FLAIR MR image.
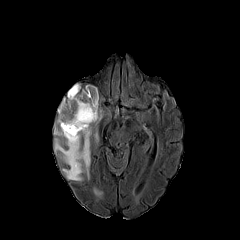
T1-weighted MR.
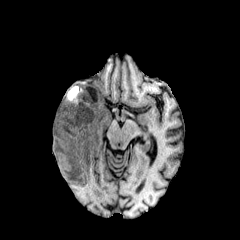
Post-contrast T1-weighted MR image.
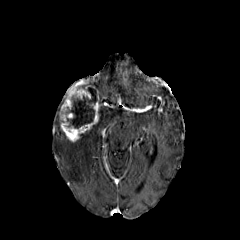
T2-weighted magnetic resonance.
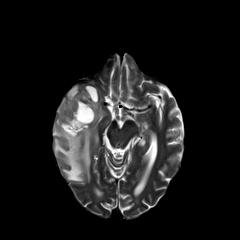
Axial slice
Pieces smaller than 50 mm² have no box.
Annotated regions:
• enhancing tumor: [71, 83, 95, 99], [58, 89, 99, 142]
• necrotic tumor core: [67, 87, 97, 128]
• peritumoral edema: [54, 114, 92, 181]